Slice 96/155. Head. Image width 240 mm.
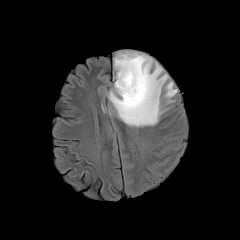
FLAIR MRI.
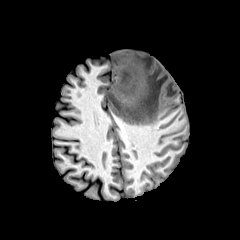
T1-weighted MRI of the same slice.
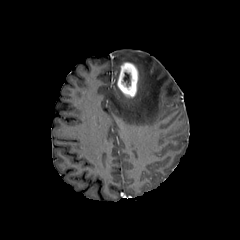
Same slice, post-contrast T1-weighted MR.
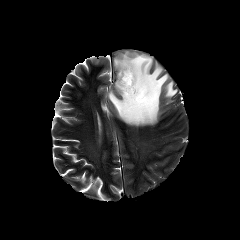
T2-weighted MR of the same slice.
{"enhancing_tumor": ["region(117, 62, 138, 97)"], "peritumoral_edema": ["region(100, 101, 105, 115)", "region(108, 50, 177, 127)"], "necrotic_tumor_core": ["region(123, 72, 130, 82)"]}